Brain | Image width 240 mm, 1.00 mm slice spacing | Slice index 77
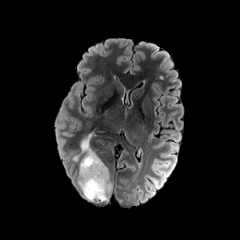
FLAIR MR.
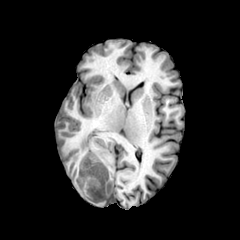
Same slice, T1-weighted magnetic resonance.
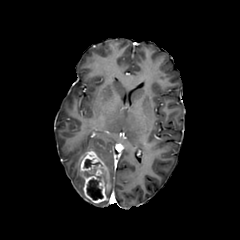
Post-contrast T1-weighted MR image.
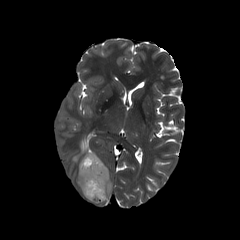
T2-weighted MR image.
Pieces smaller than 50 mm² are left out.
enhancing tumor: region(80, 150, 110, 203)
necrotic tumor core: region(86, 178, 103, 200); region(84, 159, 100, 168)
peritumoral edema: region(80, 134, 96, 158); region(78, 164, 89, 200); region(102, 172, 112, 202)